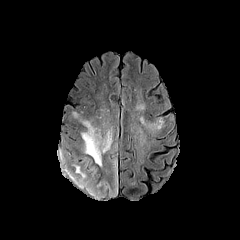
FLAIR MR.
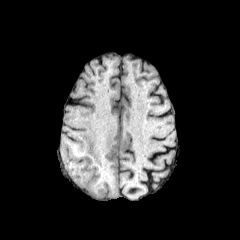
T1-weighted magnetic resonance.
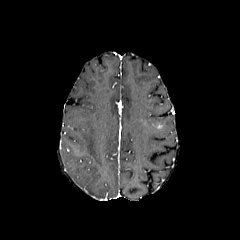
Post-contrast T1-weighted MR image.
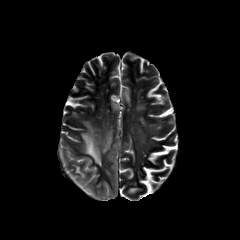
T2-weighted MR image.
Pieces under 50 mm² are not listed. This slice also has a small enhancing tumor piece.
peritumoral edema — (110,157,117,197), (81,121,112,166), (76,166,86,185), (87,186,105,197)